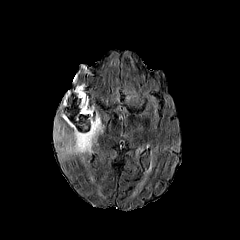
FLAIR MRI.
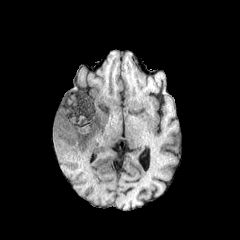
T1-weighted MR.
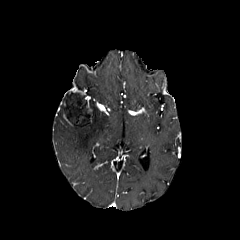
Same slice, post-contrast T1-weighted MR image.
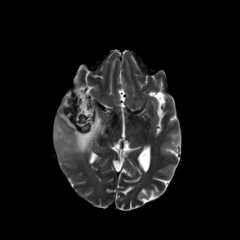
T2-weighted MR image of the same slice.
240x240; Head; Axial slice
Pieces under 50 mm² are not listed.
{"peritumoral_edema": ["x1=53, y1=111, x2=104, y2=158"], "necrotic_tumor_core": ["x1=61, y1=91, x2=90, y2=132"], "enhancing_tumor": ["x1=71, y1=87, x2=85, y2=94", "x1=85, y1=96, x2=92, y2=122"]}